Image covers 240 mm x 240 mm; Slice 83/155
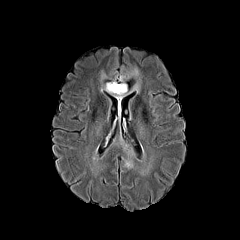
FLAIR magnetic resonance.
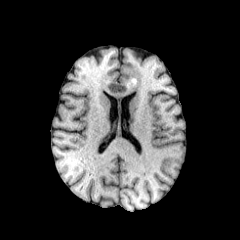
T1-weighted magnetic resonance.
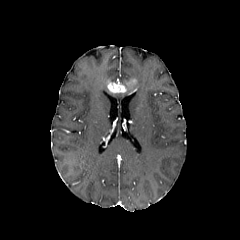
Post-contrast T1-weighted MR of the same slice.
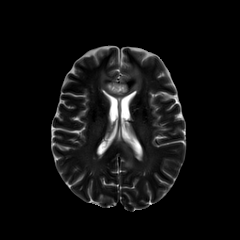
T2-weighted MR.
enhancing tumor: [107,82,127,93] | peritumoral edema: [119,67,141,92], [100,71,128,102], [119,136,134,168]